Slice index 30. Image size 240x240.
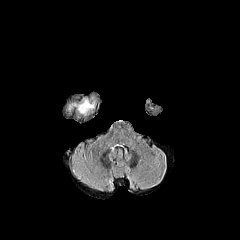
FLAIR MRI.
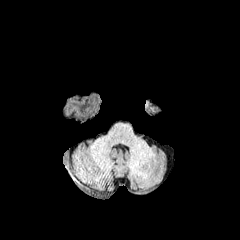
T1-weighted MR image.
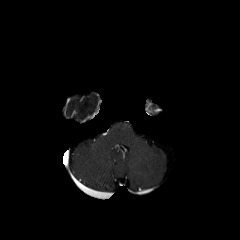
Same slice, post-contrast T1-weighted magnetic resonance.
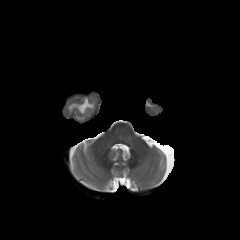
T2-weighted magnetic resonance.
- peritumoral edema: [78, 99, 93, 113]